Head; Image covers 240 mm x 240 mm; Slice index 72
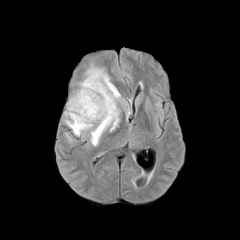
FLAIR MR.
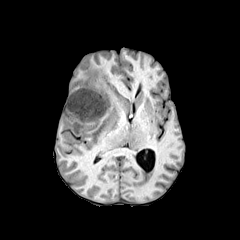
T1-weighted MR.
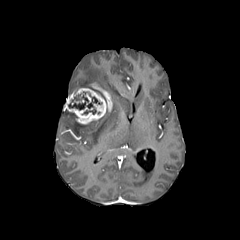
Post-contrast T1-weighted MR image.
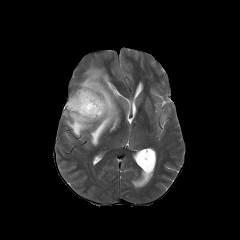
T2-weighted MR of the same slice.
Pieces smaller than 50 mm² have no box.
The largest peritumoral edema region is bounded by bbox(65, 65, 120, 145). The largest enhancing tumor region is located at bbox(65, 83, 112, 124). The 2 largest necrotic tumor core regions appear at bbox(87, 97, 101, 108); bbox(68, 95, 88, 109).